Axial slice
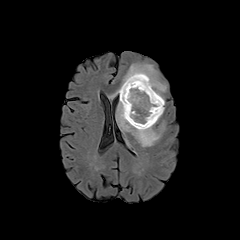
FLAIR MRI.
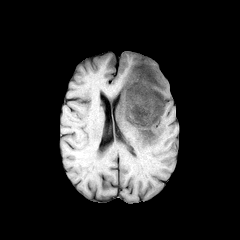
T1-weighted MRI.
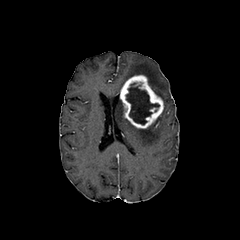
Post-contrast T1-weighted MR.
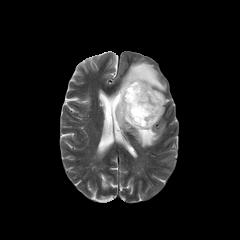
T2-weighted MR image.
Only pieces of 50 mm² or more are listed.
Findings:
• peritumoral edema: left=107, top=62, right=166, bottom=105; left=116, top=100, right=164, bottom=147
• necrotic tumor core: left=126, top=83, right=159, bottom=124
• enhancing tumor: left=120, top=75, right=163, bottom=128